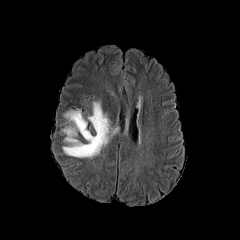
FLAIR MRI.
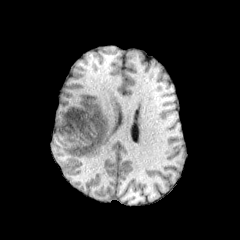
T1-weighted MRI of the same slice.
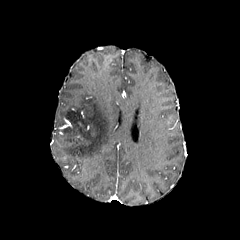
Post-contrast T1-weighted MRI of the same slice.
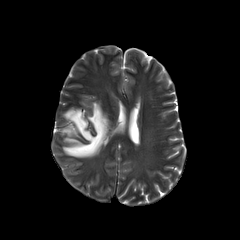
Same slice, T2-weighted MRI.
Image size 240x240
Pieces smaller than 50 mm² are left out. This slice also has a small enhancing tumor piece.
peritumoral edema: bounding box (x1=63, y1=101, x2=117, y2=157)